240x240, Slice index 72
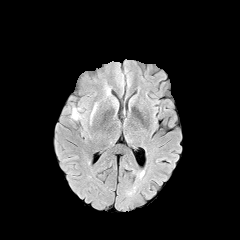
FLAIR magnetic resonance.
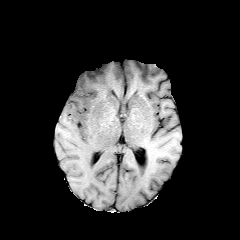
T1-weighted MRI.
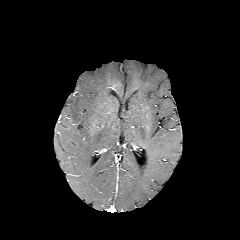
Post-contrast T1-weighted MR image of the same slice.
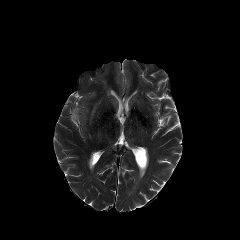
T2-weighted MR.
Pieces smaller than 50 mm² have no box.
The largest peritumoral edema region lies within 71, 108, 79, 119.